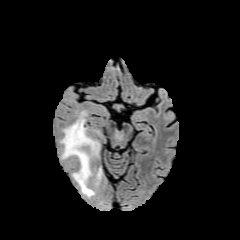
FLAIR MRI.
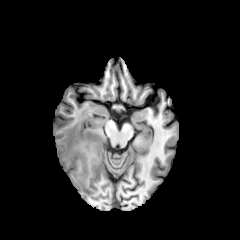
T1-weighted MR.
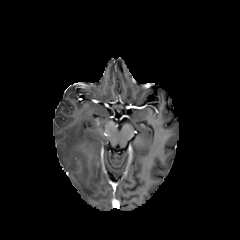
Post-contrast T1-weighted MR.
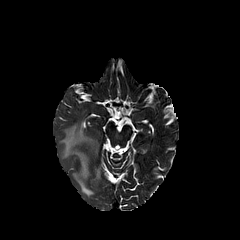
T2-weighted magnetic resonance.
240x240
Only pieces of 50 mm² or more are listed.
peritumoral_edema:
  - <bbox>60, 111, 99, 197</bbox>